FLAIR magnetic resonance.
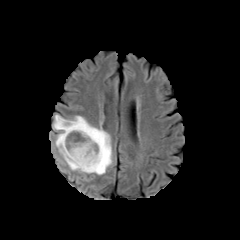
T1-weighted MR.
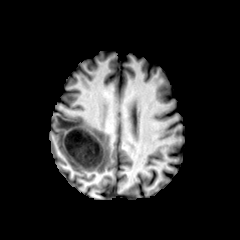
Post-contrast T1-weighted magnetic resonance.
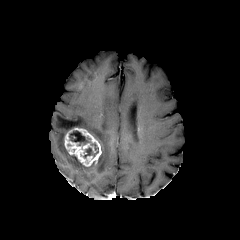
T2-weighted magnetic resonance.
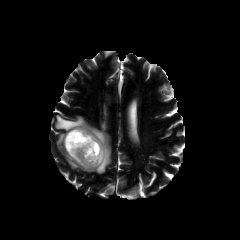
Axial slice, Head, 240x240
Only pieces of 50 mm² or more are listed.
The peritumoral edema is at (53, 114, 112, 174). The largest enhancing tumor region is located at (64, 127, 102, 167). 2 necrotic tumor core regions appear at (69, 130, 89, 145), (84, 143, 98, 157).